Image covers 240 mm x 240 mm; Head; Slice 96/155; Image size 240x240
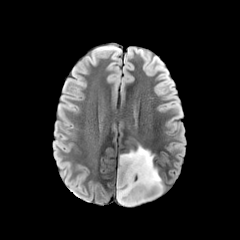
FLAIR MR.
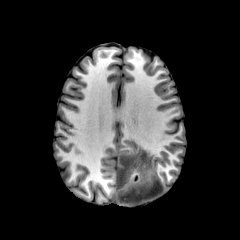
T1-weighted MR.
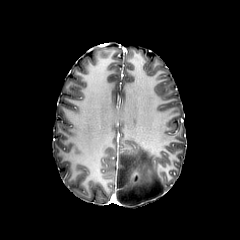
Post-contrast T1-weighted MR.
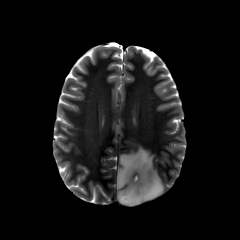
T2-weighted MRI.
The peritumoral edema is at bbox=[116, 145, 164, 206].